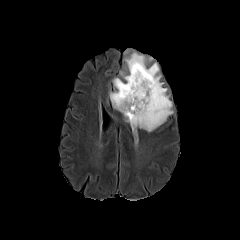
FLAIR magnetic resonance.
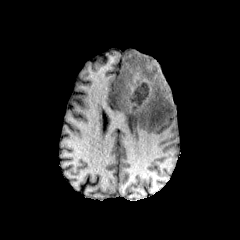
T1-weighted magnetic resonance.
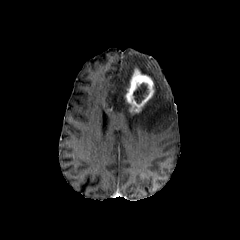
Post-contrast T1-weighted magnetic resonance of the same slice.
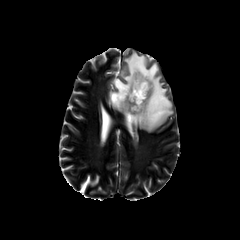
T2-weighted magnetic resonance.
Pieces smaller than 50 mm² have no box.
The largest peritumoral edema region appears at (109,52,173,133). The enhancing tumor is located at (124,68,154,114). The necrotic tumor core appears at (133,83,147,102).